Slice 99 of 155 | Brain
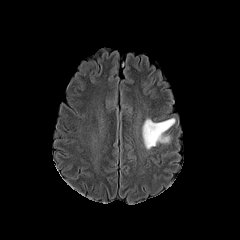
FLAIR magnetic resonance.
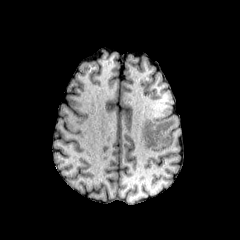
T1-weighted magnetic resonance.
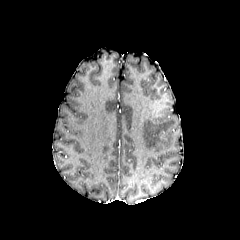
Post-contrast T1-weighted magnetic resonance of the same slice.
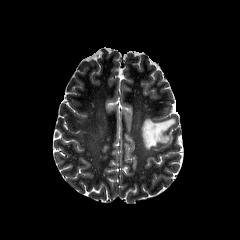
Same slice, T2-weighted MRI.
peritumoral edema: (left=142, top=118, right=175, bottom=149)